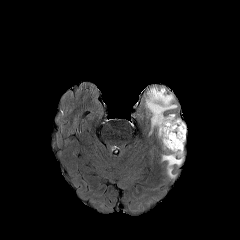
FLAIR magnetic resonance.
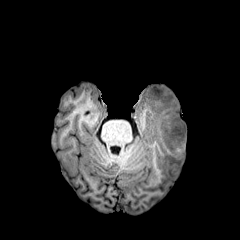
T1-weighted MR image.
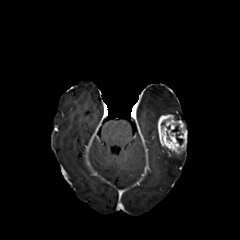
Post-contrast T1-weighted magnetic resonance of the same slice.
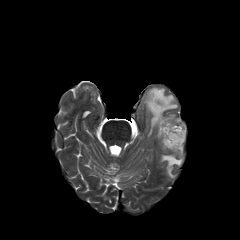
Same slice, T2-weighted MRI.
Axial view
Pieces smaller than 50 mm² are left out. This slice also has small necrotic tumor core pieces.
The 2 largest peritumoral edema regions are located at x1=146 y1=88 x2=176 y2=126, x1=162 y1=153 x2=182 y2=177. The largest enhancing tumor region is at x1=157 y1=114 x2=187 y2=155.